Image size 240x240, Brain
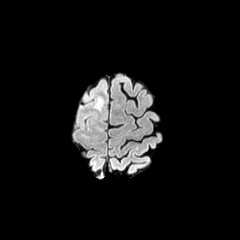
FLAIR magnetic resonance.
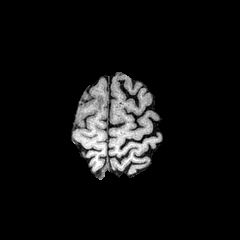
T1-weighted MR image.
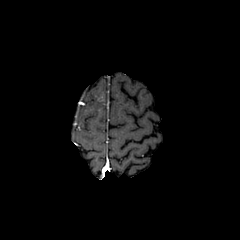
Post-contrast T1-weighted MR.
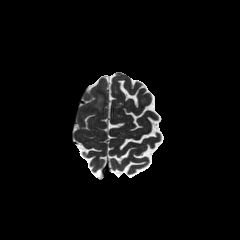
T2-weighted MR image.
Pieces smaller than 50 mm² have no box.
peritumoral_edema:
  - {"x1": 95, "y1": 95, "x2": 102, "y2": 109}